FLAIR MR.
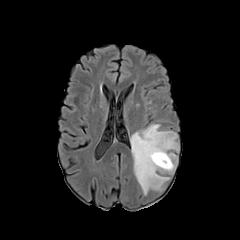
T1-weighted MRI.
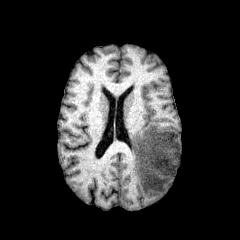
Post-contrast T1-weighted MR.
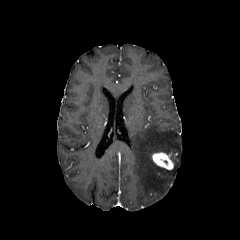
T2-weighted MR image.
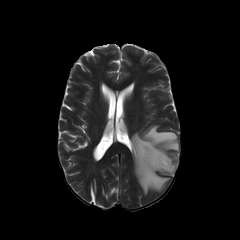
Image size 240x240
The enhancing tumor is bounded by (151, 152, 173, 170). The peritumoral edema is bounded by (130, 124, 179, 195).